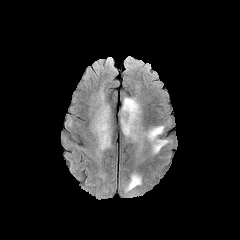
FLAIR MR image.
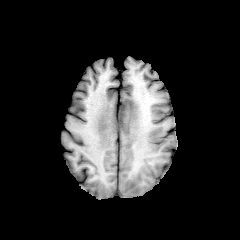
T1-weighted MR image.
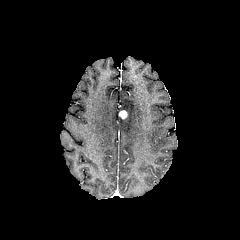
Post-contrast T1-weighted MR image.
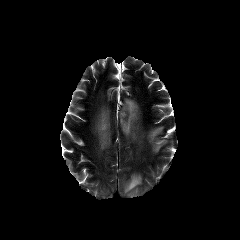
Same slice, T2-weighted MR image.
Brain
enhancing tumor: (left=119, top=110, right=127, bottom=118) | peritumoral edema: (left=125, top=174, right=141, bottom=196), (left=94, top=106, right=110, bottom=149), (left=121, top=98, right=140, bottom=140), (left=147, top=126, right=167, bottom=153)